FLAIR magnetic resonance.
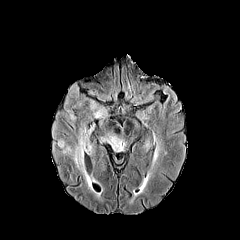
T1-weighted magnetic resonance.
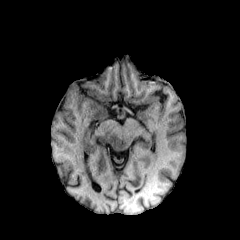
Post-contrast T1-weighted magnetic resonance.
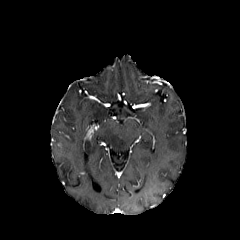
T2-weighted MR image.
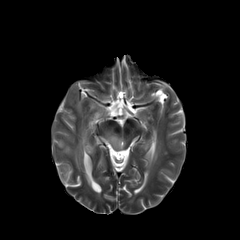
Brain. 240x240 px.
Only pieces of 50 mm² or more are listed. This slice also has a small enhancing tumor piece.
The 3 largest peritumoral edema regions appear at (x1=101, y1=133, x2=125, y2=153), (x1=94, y1=108, x2=106, y2=118), (x1=58, y1=125, x2=92, y2=187).